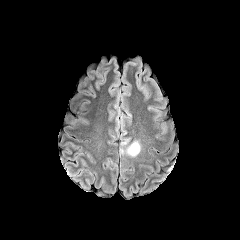
FLAIR MRI.
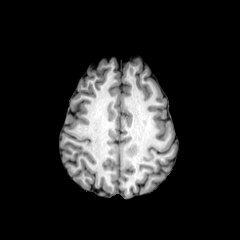
T1-weighted MRI.
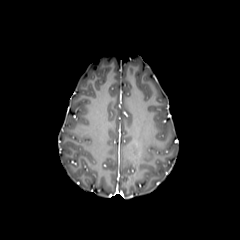
Post-contrast T1-weighted magnetic resonance.
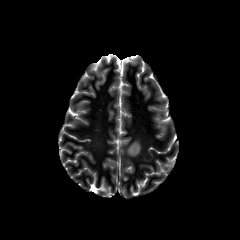
T2-weighted magnetic resonance of the same slice.
peritumoral edema at 120,138,142,157